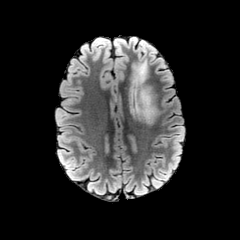
FLAIR MR.
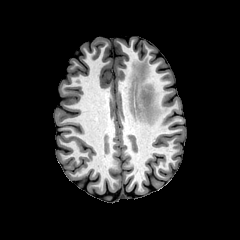
T1-weighted MR.
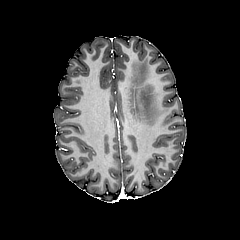
Post-contrast T1-weighted MR image.
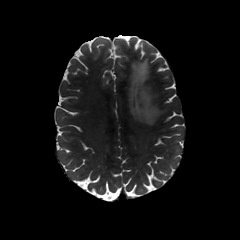
T2-weighted magnetic resonance of the same slice.
Brain
<segmentation>
  <peritumoral_edema>(128, 62, 157, 124)</peritumoral_edema>
</segmentation>